FLAIR magnetic resonance.
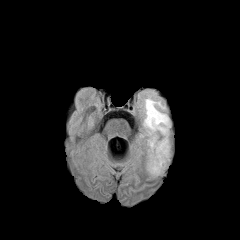
T1-weighted MR.
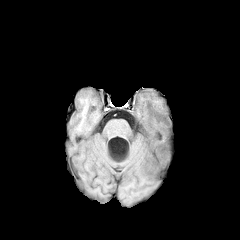
Post-contrast T1-weighted MR image.
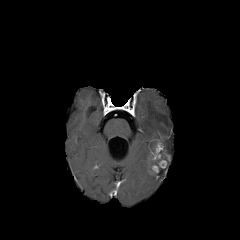
T2-weighted magnetic resonance.
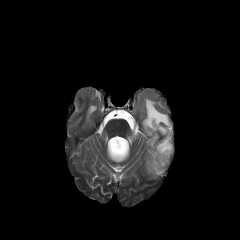
peritumoral edema: (left=147, top=156, right=169, bottom=175), (left=141, top=96, right=171, bottom=158)
enhancing tumor: (left=149, top=138, right=170, bottom=163), (left=159, top=160, right=167, bottom=168), (left=149, top=165, right=159, bottom=174)